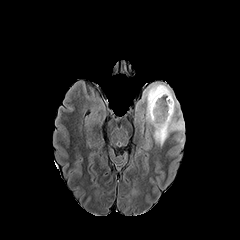
FLAIR MR.
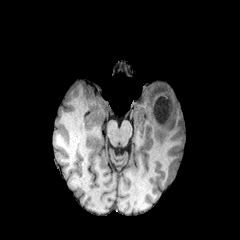
T1-weighted MRI.
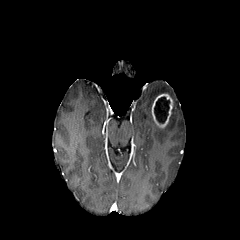
Post-contrast T1-weighted MR image of the same slice.
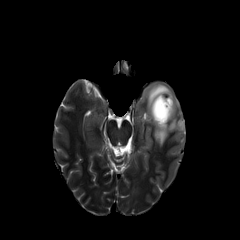
T2-weighted MRI.
Axial view; Head; 240x240
Findings:
- enhancing tumor: box(151, 94, 173, 128)
- peritumoral edema: box(142, 82, 184, 145)
- necrotic tumor core: box(154, 96, 170, 123)